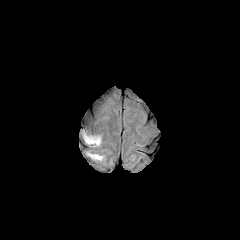
FLAIR MR image.
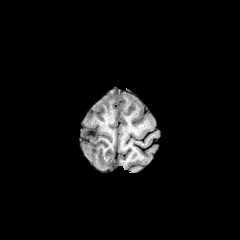
T1-weighted MR.
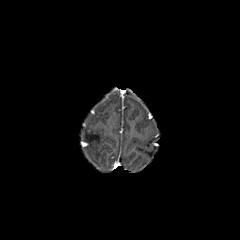
Same slice, post-contrast T1-weighted MR image.
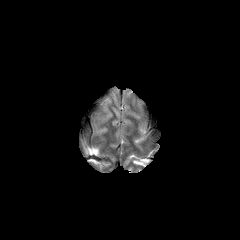
T2-weighted MR image.
Head
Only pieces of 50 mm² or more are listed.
- peritumoral edema: 85, 136, 99, 144